FLAIR MRI.
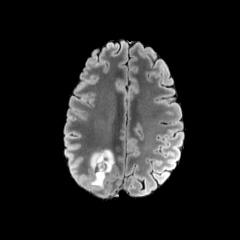
T1-weighted MRI.
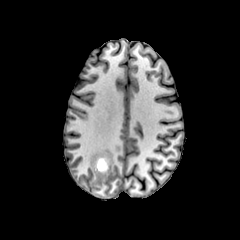
Post-contrast T1-weighted MR image.
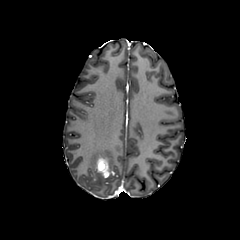
T2-weighted magnetic resonance.
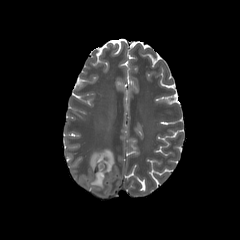
Brain | Axial slice
{"peritumoral_edema": ["bbox=[89, 149, 114, 188]"], "enhancing_tumor": ["bbox=[97, 156, 110, 177]"]}